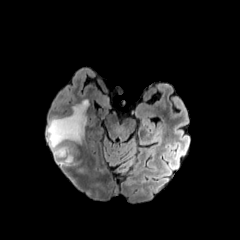
FLAIR MR.
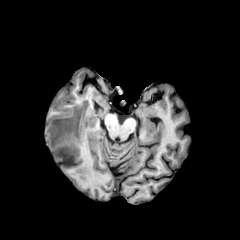
T1-weighted MR image.
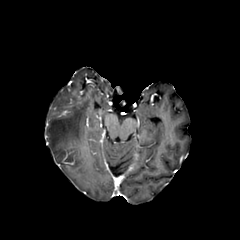
Same slice, post-contrast T1-weighted magnetic resonance.
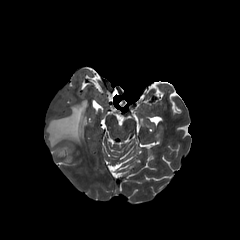
T2-weighted MRI of the same slice.
240x240 px.
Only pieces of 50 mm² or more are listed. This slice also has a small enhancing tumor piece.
The largest peritumoral edema region appears at (x1=47, y1=100, x2=88, y2=156).